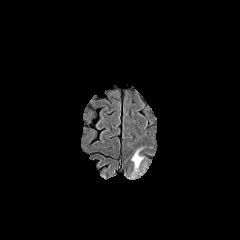
FLAIR MR.
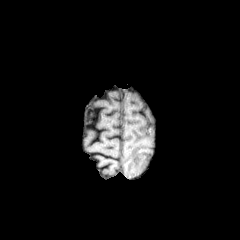
T1-weighted MRI.
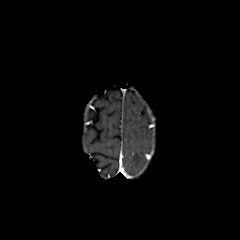
Post-contrast T1-weighted magnetic resonance.
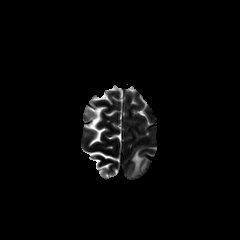
T2-weighted magnetic resonance of the same slice.
Axial slice; Brain
peritumoral edema: bounding box {"x1": 132, "y1": 150, "x2": 142, "y2": 171}